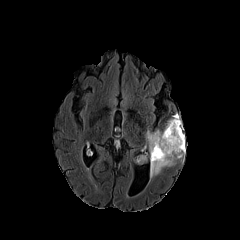
FLAIR MR image.
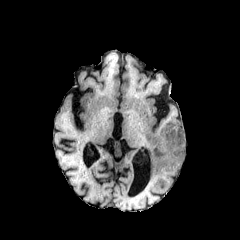
Same slice, T1-weighted magnetic resonance.
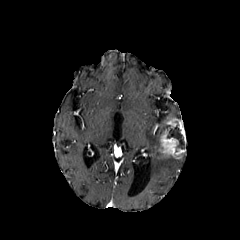
Post-contrast T1-weighted MR.
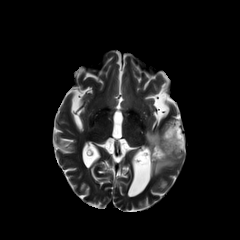
T2-weighted MR image.
Axial view. Brain.
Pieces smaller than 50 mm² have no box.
peritumoral_edema:
  - [x1=145, y1=129, x2=177, y2=177]
enhancing_tumor:
  - [x1=157, y1=117, x2=185, y2=159]
necrotic_tumor_core:
  - [x1=167, y1=125, x2=184, y2=148]